FLAIR MR.
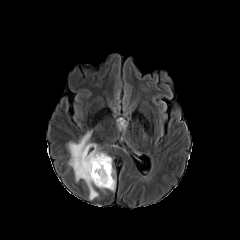
T1-weighted magnetic resonance.
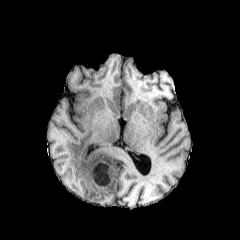
Post-contrast T1-weighted MRI.
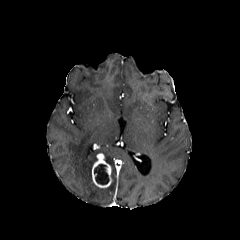
T2-weighted MR.
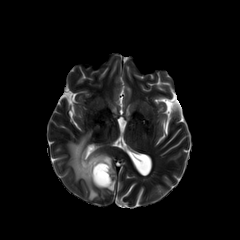
Head. Axial slice.
peritumoral edema = {"x1": 67, "y1": 131, "x2": 115, "y2": 199}
enhancing tumor = {"x1": 92, "y1": 153, "x2": 112, "y2": 188}
necrotic tumor core = {"x1": 94, "y1": 164, "x2": 109, "y2": 184}